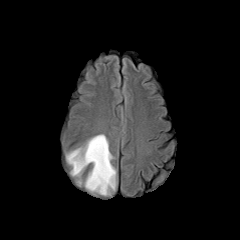
FLAIR MRI.
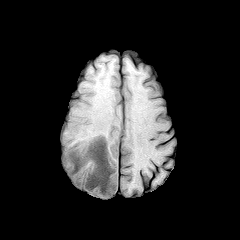
Same slice, T1-weighted MRI.
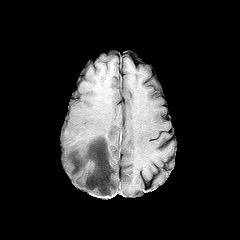
Same slice, post-contrast T1-weighted magnetic resonance.
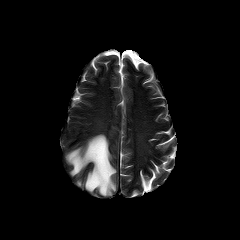
T2-weighted MR image.
Head; Axial view
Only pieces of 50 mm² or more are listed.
<segmentation>
  <peritumoral_edema>x1=66 y1=134 x2=116 y2=195</peritumoral_edema>
</segmentation>